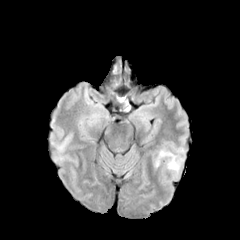
FLAIR MRI.
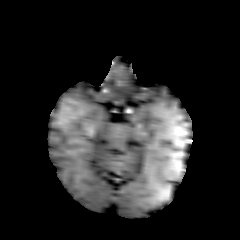
T1-weighted magnetic resonance.
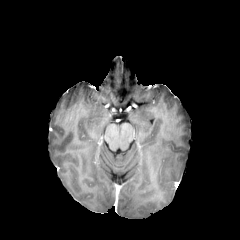
Post-contrast T1-weighted MRI of the same slice.
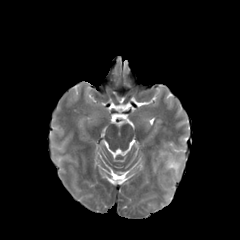
T2-weighted MR image.
Axial plane, Brain, 240x240
peritumoral_edema:
  - rect(155, 150, 178, 170)